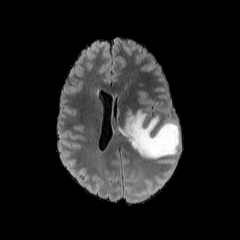
FLAIR MRI.
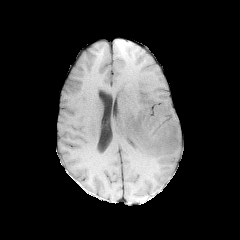
Same slice, T1-weighted magnetic resonance.
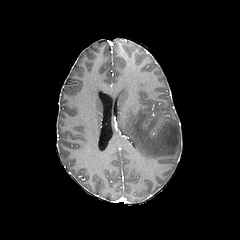
Post-contrast T1-weighted magnetic resonance.
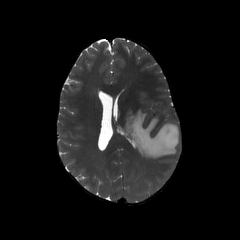
Same slice, T2-weighted MRI.
Brain
The peritumoral edema appears at region(122, 110, 179, 159).